FLAIR MR.
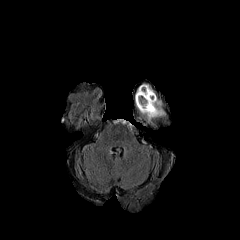
T1-weighted MRI.
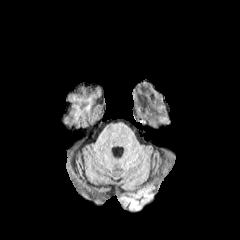
Post-contrast T1-weighted MR.
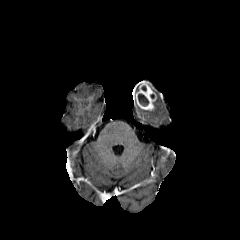
T2-weighted MRI.
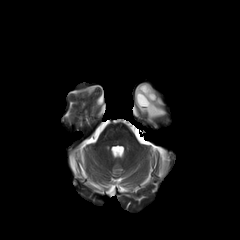
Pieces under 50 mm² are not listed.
Segmented structures:
* enhancing tumor: left=135, top=82, right=156, bottom=110
* necrotic tumor core: left=138, top=94, right=148, bottom=105
* peritumoral edema: left=138, top=99, right=165, bottom=121